Slice index 116, Head, Image covers 240 mm x 240 mm, Axial view
FLAIR MR.
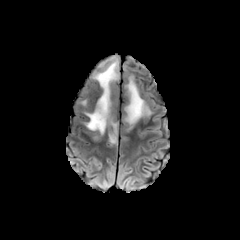
T1-weighted MR image.
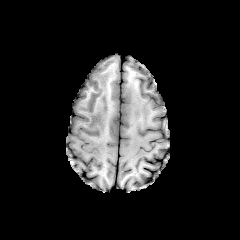
Post-contrast T1-weighted MR image.
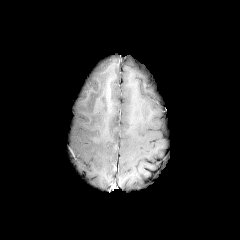
T2-weighted MR image.
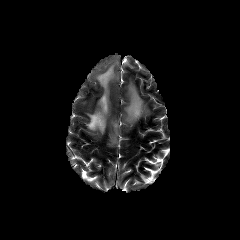
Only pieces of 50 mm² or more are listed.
peritumoral edema: left=108, top=121, right=117, bottom=144; left=125, top=73, right=153, bottom=131; left=82, top=57, right=118, bottom=141